FLAIR MRI.
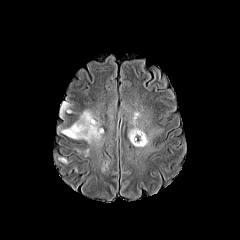
T1-weighted magnetic resonance.
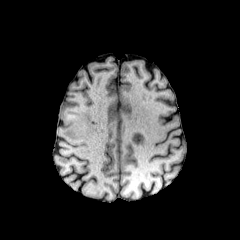
Post-contrast T1-weighted MR.
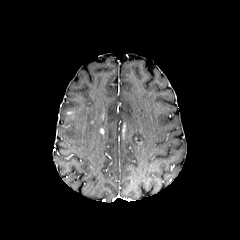
T2-weighted MR.
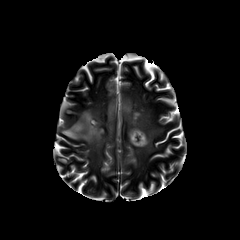
Axial view; Brain
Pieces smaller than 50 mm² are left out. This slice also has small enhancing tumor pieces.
peritumoral edema: [x1=128, y1=127, x2=149, y2=147], [x1=61, y1=110, x2=102, y2=144], [x1=60, y1=102, x2=71, y2=115], [x1=131, y1=112, x2=140, y2=124]